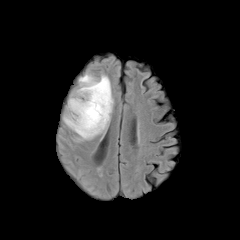
FLAIR magnetic resonance.
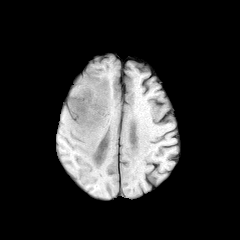
T1-weighted MRI.
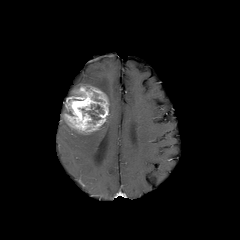
Post-contrast T1-weighted MR.
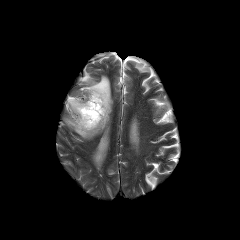
T2-weighted MR image of the same slice.
Brain
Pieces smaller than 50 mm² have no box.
The largest necrotic tumor core region lies within (87,110,100,120). The largest peritumoral edema region lies within (63,73,113,141). The largest enhancing tumor region is bounded by (65,85,109,134).